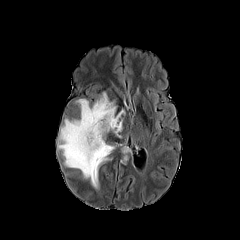
FLAIR MR image.
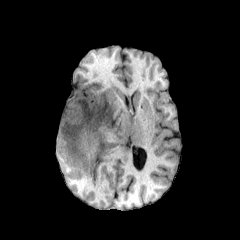
T1-weighted magnetic resonance.
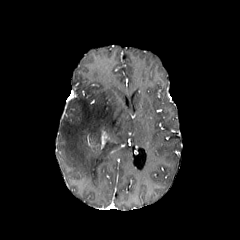
Post-contrast T1-weighted MRI of the same slice.
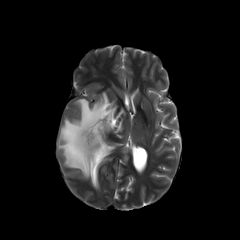
T2-weighted magnetic resonance.
Image size 240x240. Brain.
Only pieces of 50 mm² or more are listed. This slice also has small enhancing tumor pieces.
peritumoral_edema:
  - left=121, top=148, right=130, bottom=164
  - left=58, top=92, right=124, bottom=188